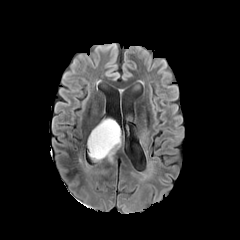
FLAIR magnetic resonance.
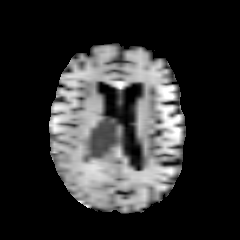
T1-weighted MRI of the same slice.
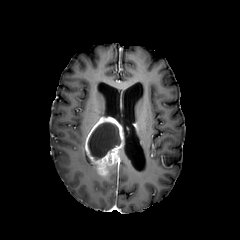
Post-contrast T1-weighted magnetic resonance.
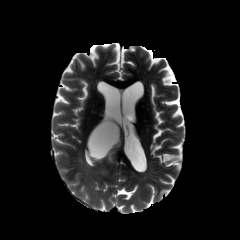
Same slice, T2-weighted MR image.
Image size 240x240.
Findings:
- enhancing tumor: rect(85, 116, 123, 175)
- necrotic tumor core: rect(88, 123, 120, 159)